Image size 240x240, Brain, Axial plane
FLAIR magnetic resonance.
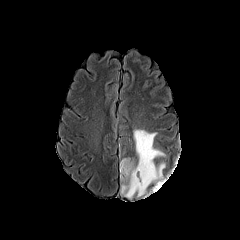
T1-weighted MR image.
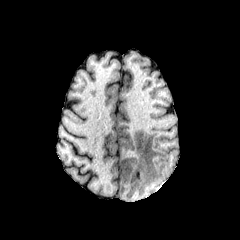
Post-contrast T1-weighted MR.
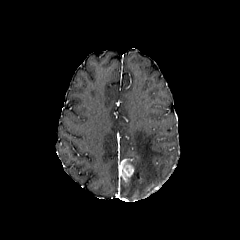
T2-weighted MRI.
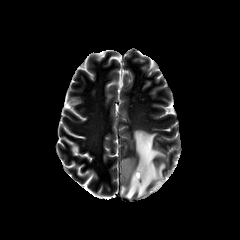
enhancing_tumor:
  - x1=119, y1=159, x2=134, y2=181
peritumoral_edema:
  - x1=121, y1=129, x2=165, y2=198